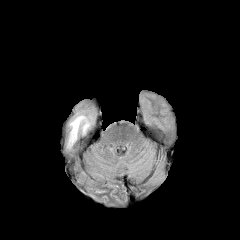
FLAIR MRI.
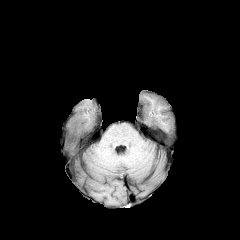
Same slice, T1-weighted MR image.
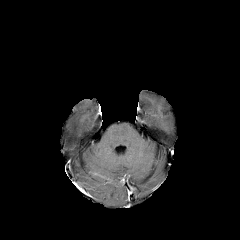
Post-contrast T1-weighted MR image.
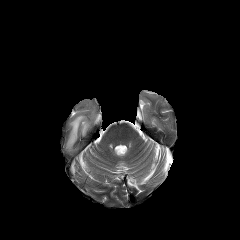
T2-weighted MR image.
The peritumoral edema is at [x1=67, y1=113, x2=92, y2=149].